FLAIR MR.
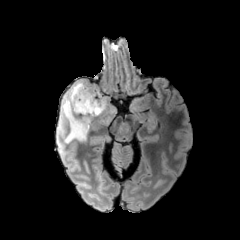
T1-weighted magnetic resonance.
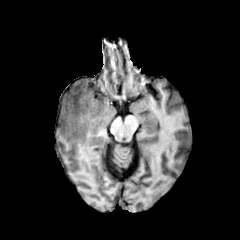
Post-contrast T1-weighted MRI.
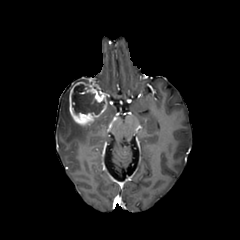
T2-weighted MRI.
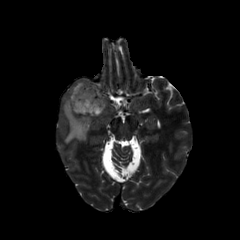
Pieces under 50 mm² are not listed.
<segmentation>
  <enhancing_tumor>(68, 81, 107, 126)</enhancing_tumor>
  <peritumoral_edema>(60, 89, 89, 142)</peritumoral_edema>
  <necrotic_tumor_core>(72, 84, 104, 114)</necrotic_tumor_core>
</segmentation>